FLAIR MRI.
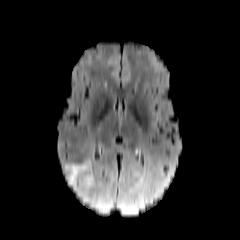
T1-weighted magnetic resonance.
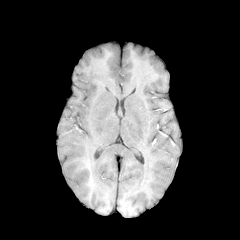
Post-contrast T1-weighted magnetic resonance.
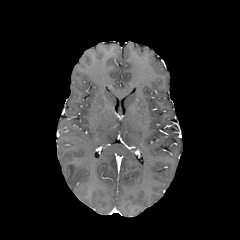
T2-weighted MR.
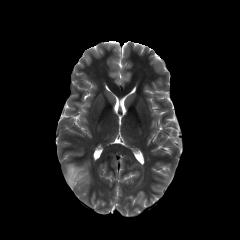
Head; Axial view; 240x240 px
peritumoral edema — box=[65, 161, 91, 195]